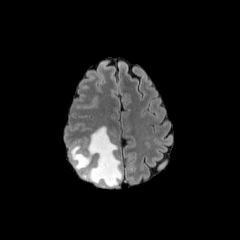
FLAIR MRI.
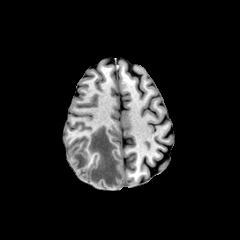
Same slice, T1-weighted magnetic resonance.
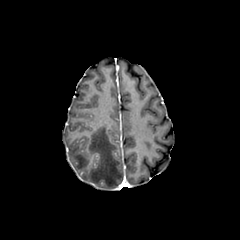
Same slice, post-contrast T1-weighted MR.
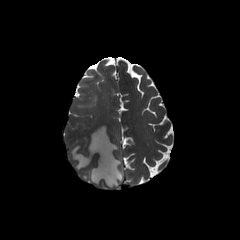
Same slice, T2-weighted magnetic resonance.
Head.
The peritumoral edema appears at rect(70, 126, 122, 187).